FLAIR magnetic resonance.
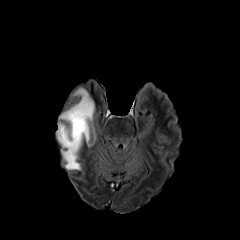
T1-weighted magnetic resonance.
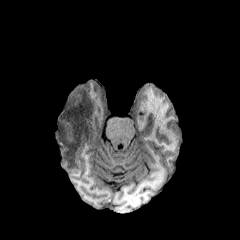
Post-contrast T1-weighted MR image.
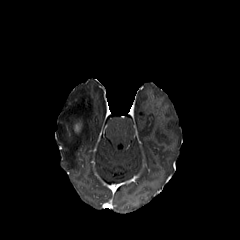
T2-weighted MR.
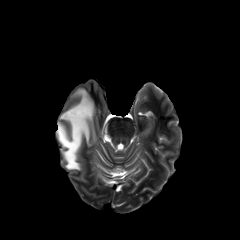
240x240 px | Axial view
<segmentation>
  <peritumoral_edema>bbox(57, 88, 95, 170)</peritumoral_edema>
  <enhancing_tumor>bbox(74, 123, 80, 132)</enhancing_tumor>
</segmentation>